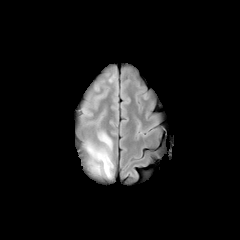
FLAIR MR.
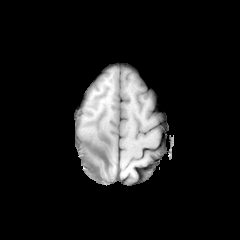
T1-weighted MR.
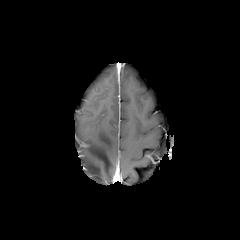
Post-contrast T1-weighted MRI.
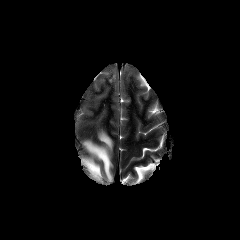
T2-weighted magnetic resonance.
Image size 240x240
peritumoral edema = x1=85 y1=131 x2=113 y2=178